FLAIR MR.
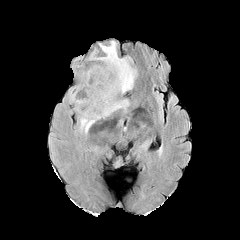
T1-weighted MR image.
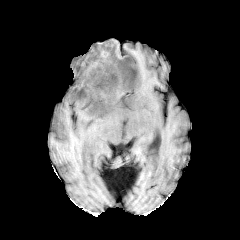
Post-contrast T1-weighted magnetic resonance.
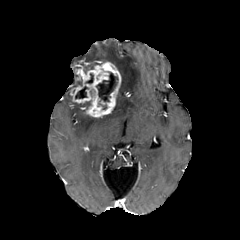
T2-weighted MRI.
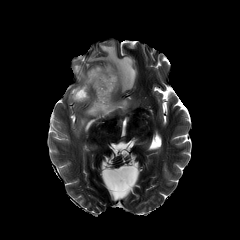
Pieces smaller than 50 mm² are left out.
Segmented structures:
• necrotic tumor core: box(75, 86, 87, 98); box(96, 73, 117, 101)
• peritumoral edema: box(80, 112, 100, 133); box(89, 41, 136, 93); box(113, 99, 129, 111)
• enhancing tumor: box(70, 61, 121, 117)